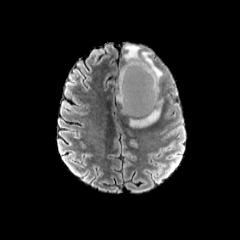
FLAIR MR.
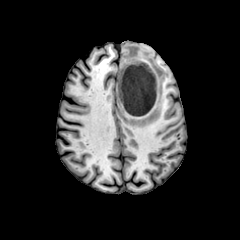
T1-weighted MR.
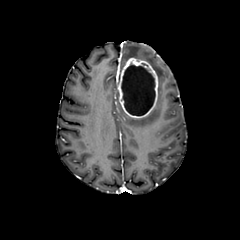
Post-contrast T1-weighted MR.
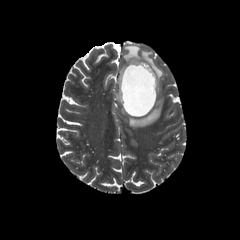
T2-weighted MR.
Head; Axial slice
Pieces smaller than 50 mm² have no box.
enhancing_tumor:
  - 118 58 158 118
peritumoral_edema:
  - 123 44 163 80
  - 129 99 162 127
necrotic_tumor_core:
  - 121 64 155 115